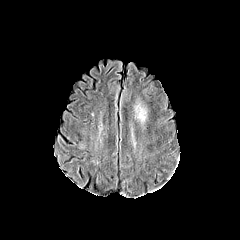
FLAIR MR image.
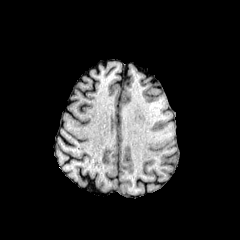
T1-weighted MR.
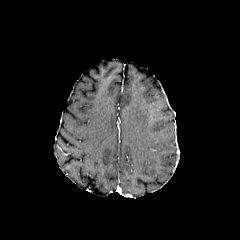
Post-contrast T1-weighted MRI.
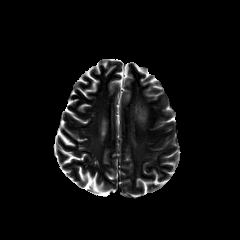
T2-weighted MR image.
Head
peritumoral edema at <bbox>136, 105, 145, 121</bbox>